FLAIR MRI.
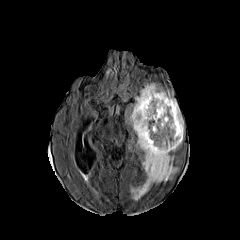
T1-weighted MR.
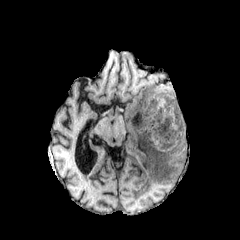
Post-contrast T1-weighted MRI.
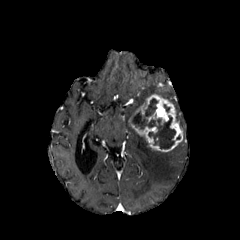
T2-weighted magnetic resonance.
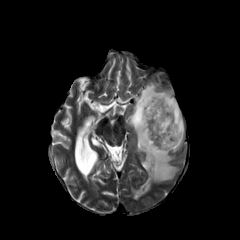
240x240 px, Brain
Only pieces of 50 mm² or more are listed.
Segmented structures:
- necrotic tumor core: (x1=132, y1=98, x2=175, y2=149)
- enhancing tumor: (x1=128, y1=94, x2=182, y2=152)
- peritumoral edema: (x1=130, y1=134, x2=178, y2=200), (x1=126, y1=82, x2=183, y2=129)